FLAIR MR.
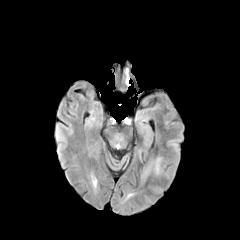
T1-weighted magnetic resonance.
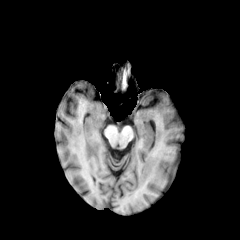
Post-contrast T1-weighted magnetic resonance.
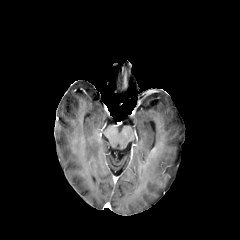
T2-weighted MRI.
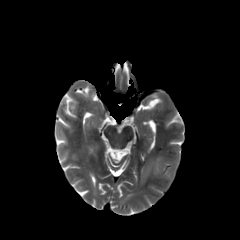
Axial slice
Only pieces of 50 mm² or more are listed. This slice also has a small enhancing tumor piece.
Annotated regions:
• peritumoral edema: 141, 157, 162, 179